Slice index 84. Axial plane. Image width 240 mm, 1.00 mm slice spacing.
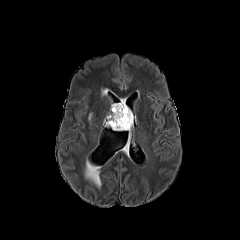
FLAIR MRI.
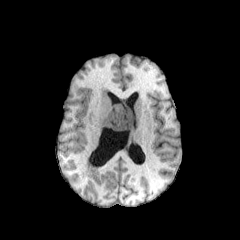
T1-weighted magnetic resonance.
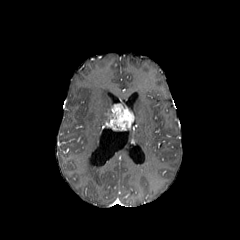
Post-contrast T1-weighted MR image.
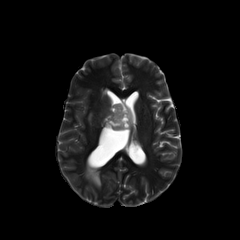
T2-weighted MR image.
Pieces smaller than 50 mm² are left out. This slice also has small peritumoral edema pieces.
enhancing tumor = (105,103,134,130)